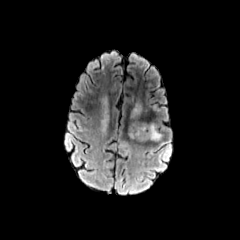
FLAIR MRI.
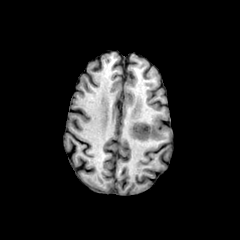
Same slice, T1-weighted MR image.
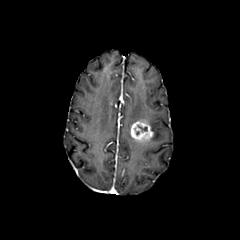
Post-contrast T1-weighted MR.
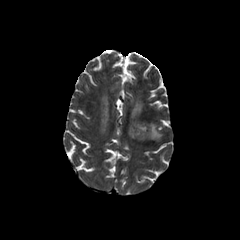
T2-weighted magnetic resonance.
Head
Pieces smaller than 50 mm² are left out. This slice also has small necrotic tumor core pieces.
The enhancing tumor is located at [x1=130, y1=117, x2=154, y2=141]. The 2 largest peritumoral edema regions are bounded by [x1=132, y1=104, x2=141, y2=116], [x1=149, y1=122, x2=162, y2=140].